FLAIR MR.
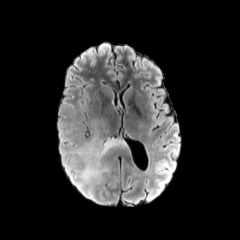
T1-weighted MR.
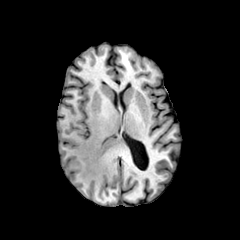
Post-contrast T1-weighted MR.
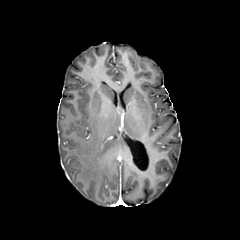
T2-weighted MR image.
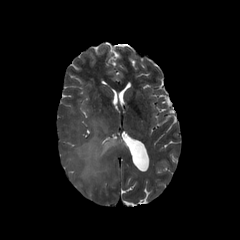
Brain
peritumoral_edema:
  - region(75, 132, 125, 182)